Brain
FLAIR MR image.
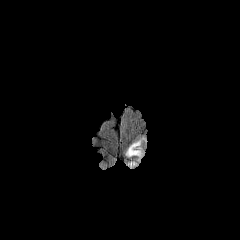
T1-weighted MR.
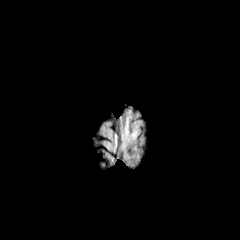
Post-contrast T1-weighted magnetic resonance.
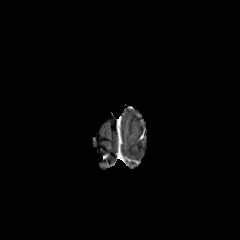
T2-weighted MR.
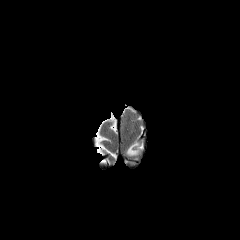
peritumoral edema: (126,138,144,161)